Head.
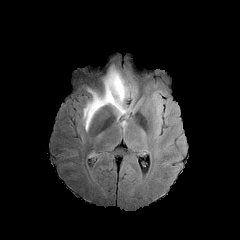
FLAIR magnetic resonance.
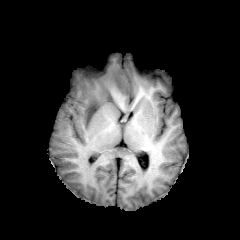
Same slice, T1-weighted magnetic resonance.
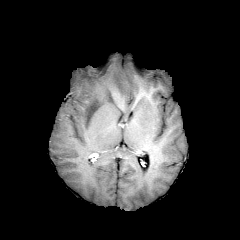
Post-contrast T1-weighted MR of the same slice.
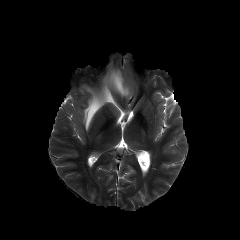
T2-weighted magnetic resonance.
Segmented structures:
* peritumoral edema: box=[83, 68, 131, 130]